240x240. Slice 88 of 155. Image covers 240 mm x 240 mm.
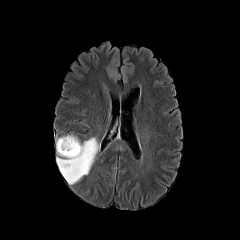
FLAIR MR image.
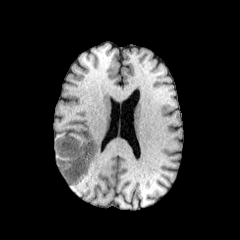
T1-weighted magnetic resonance of the same slice.
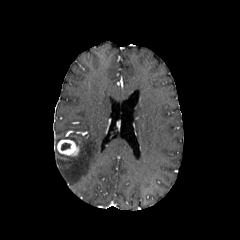
Post-contrast T1-weighted MRI of the same slice.
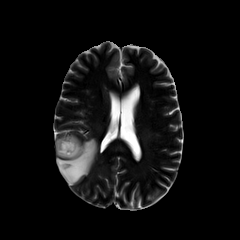
Same slice, T2-weighted MR.
{
  "peritumoral_edema": [
    "56 135 99 184"
  ],
  "enhancing_tumor": [
    "57 139 79 156"
  ],
  "necrotic_tumor_core": [
    "61 143 70 150"
  ]
}